FLAIR MRI.
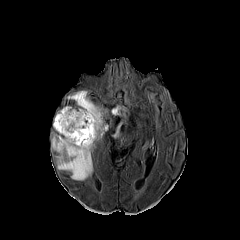
T1-weighted magnetic resonance.
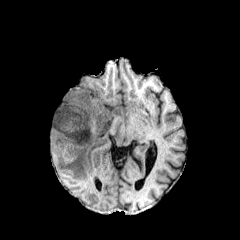
Post-contrast T1-weighted magnetic resonance.
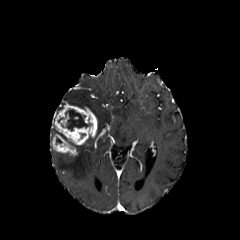
T2-weighted MR.
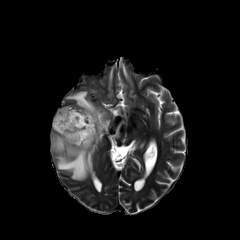
Brain
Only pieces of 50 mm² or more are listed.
enhancing tumor = [51, 133, 78, 155], [54, 104, 97, 145]
peritumoral edema = [56, 138, 94, 180], [113, 122, 122, 137], [66, 91, 106, 131]
necrotic tumor core = [65, 109, 90, 130], [58, 132, 79, 150]